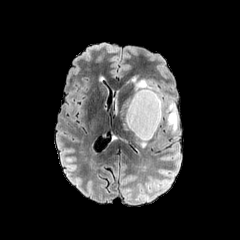
FLAIR MRI.
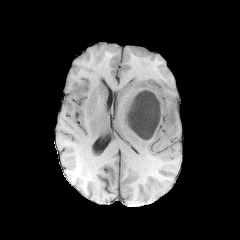
Same slice, T1-weighted MR.
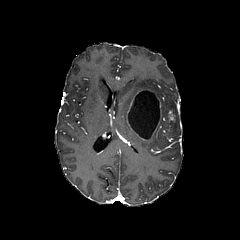
Post-contrast T1-weighted MRI of the same slice.
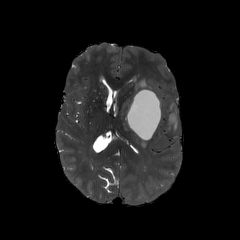
T2-weighted magnetic resonance.
Head
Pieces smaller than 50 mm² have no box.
{
  "enhancing_tumor": [
    "x1=168, y1=110, x2=174, y2=121",
    "x1=126, y1=89, x2=161, y2=140"
  ],
  "peritumoral_edema": [
    "x1=136, y1=80, x2=152, y2=90",
    "x1=167, y1=103, x2=177, y2=132",
    "x1=120, y1=98, x2=131, y2=130"
  ],
  "necrotic_tumor_core": [
    "x1=128, y1=91, x2=160, y2=139"
  ]
}